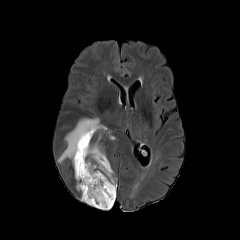
FLAIR MR.
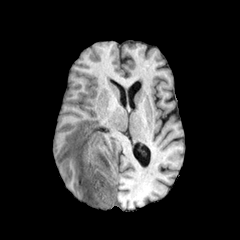
T1-weighted MRI of the same slice.
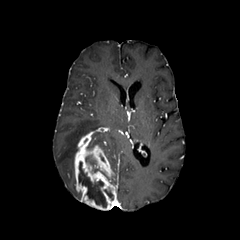
Same slice, post-contrast T1-weighted MR image.
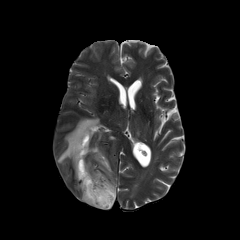
T2-weighted MR.
Brain | Image size 240x240
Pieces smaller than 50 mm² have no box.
The largest peritumoral edema region appears at [57, 118, 105, 166]. The enhancing tumor is located at [74, 131, 117, 210]. The 3 largest necrotic tumor core regions appear at [78, 162, 107, 207], [104, 189, 113, 200], [86, 156, 95, 165].